FLAIR MR.
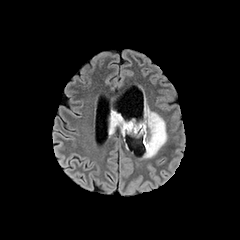
T1-weighted MR.
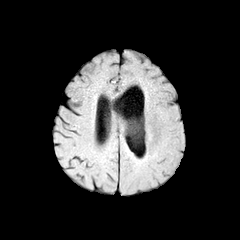
Post-contrast T1-weighted MR.
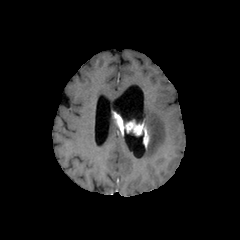
T2-weighted MRI.
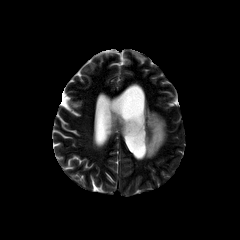
240x240 px
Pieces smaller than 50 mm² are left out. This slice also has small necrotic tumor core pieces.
Findings:
* peritumoral edema: [109, 110, 116, 135], [137, 99, 167, 158]
* enhancing tumor: [113, 112, 149, 148]